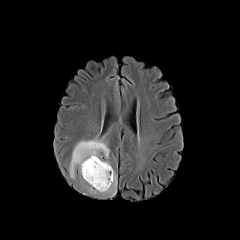
FLAIR MR.
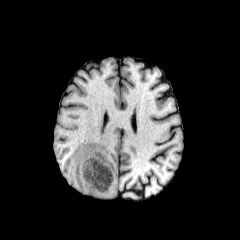
T1-weighted MR image.
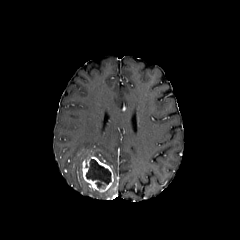
Post-contrast T1-weighted MR.
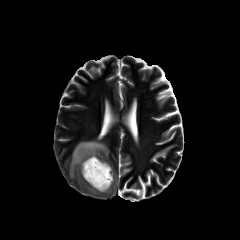
Same slice, T2-weighted MR.
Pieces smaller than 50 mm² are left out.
necrotic_tumor_core:
  - (left=86, top=159, right=111, bottom=184)
enhancing_tumor:
  - (left=82, top=156, right=114, bottom=192)
peritumoral_edema:
  - (left=69, top=140, right=109, bottom=180)
  - (left=102, top=170, right=117, bottom=196)